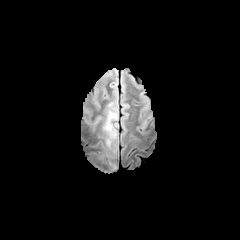
FLAIR MR image.
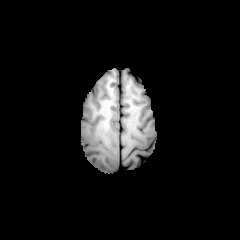
T1-weighted MRI of the same slice.
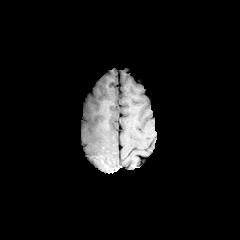
Post-contrast T1-weighted MR.
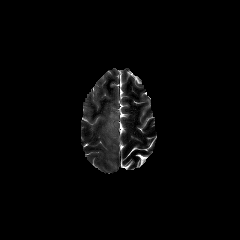
T2-weighted MR.
Brain. 240x240 px.
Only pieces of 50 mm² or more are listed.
<segmentation>
  <peritumoral_edema>bbox(105, 112, 117, 137)</peritumoral_edema>
</segmentation>